Brain | Axial view | Slice 63 of 155 | 240x240
FLAIR MRI.
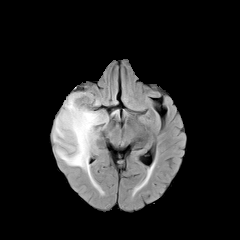
T1-weighted MR.
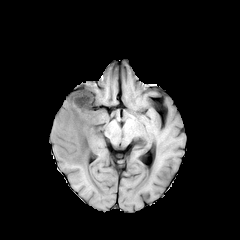
Post-contrast T1-weighted MR image.
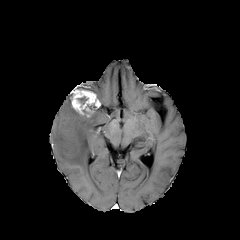
T2-weighted magnetic resonance.
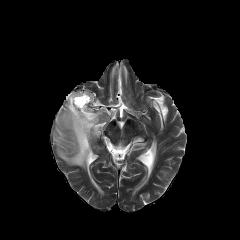
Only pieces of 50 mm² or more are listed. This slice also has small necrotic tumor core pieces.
peritumoral_edema:
  - left=53, top=95, right=108, bottom=179
enhancing_tumor:
  - left=70, top=90, right=100, bottom=117